FLAIR magnetic resonance.
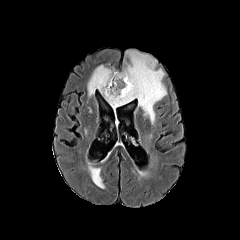
T1-weighted MR image.
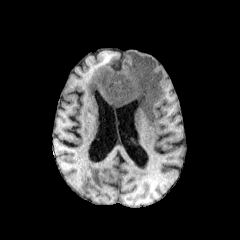
Post-contrast T1-weighted MR image.
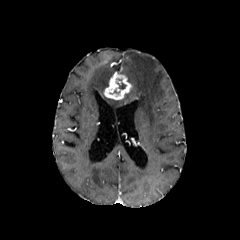
T2-weighted MRI.
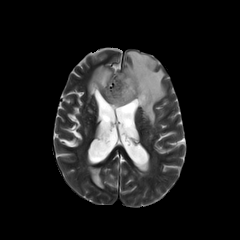
240x240 px, Head
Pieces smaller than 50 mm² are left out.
The largest necrotic tumor core region is bounded by (x1=117, y1=79, x2=126, y2=89). 3 peritumoral edema regions are bounded by (x1=87, y1=64, x2=114, y2=96), (x1=88, y1=166, x2=104, y2=188), (x1=105, y1=50, x2=166, y2=124). The enhancing tumor is bounded by (x1=104, y1=72, x2=132, y2=99).